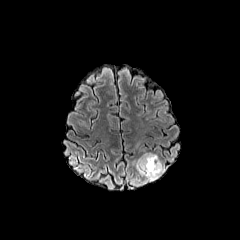
FLAIR MRI.
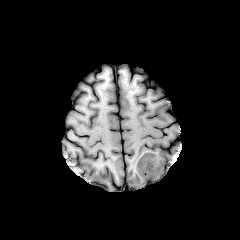
Same slice, T1-weighted MR image.
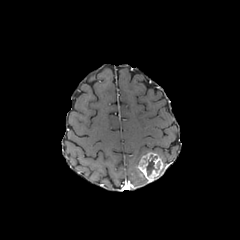
Post-contrast T1-weighted MR image.
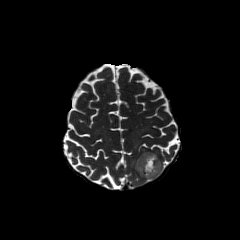
Same slice, T2-weighted MR.
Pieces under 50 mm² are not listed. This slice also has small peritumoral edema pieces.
The enhancing tumor appears at [137,152,163,180]. The necrotic tumor core is bounded by [146,155,159,175].